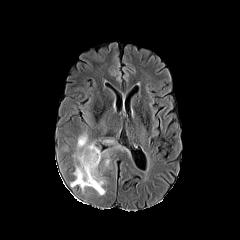
FLAIR magnetic resonance.
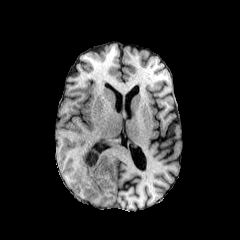
Same slice, T1-weighted MRI.
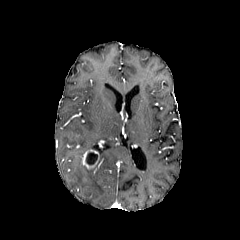
Post-contrast T1-weighted magnetic resonance.
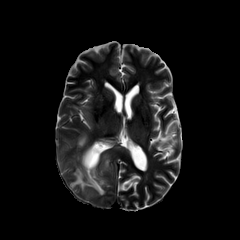
T2-weighted MR image.
Axial slice | Head | Image size 240x240
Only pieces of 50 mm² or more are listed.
{
  "enhancing_tumor": [
    "[x1=82, y1=149, x2=99, y2=172]"
  ],
  "peritumoral_edema": [
    "[x1=71, y1=153, x2=105, y2=195]",
    "[x1=77, y1=135, x2=101, y2=162]"
  ],
  "necrotic_tumor_core": [
    "[x1=86, y1=152, x2=97, y2=165]"
  ]
}